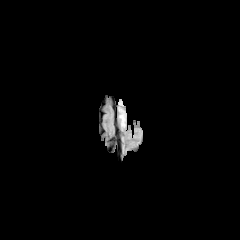
FLAIR MR.
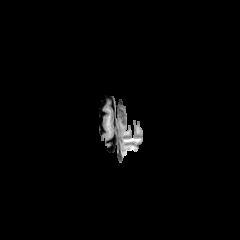
T1-weighted MRI.
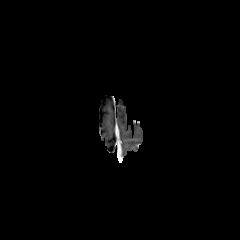
Post-contrast T1-weighted MR image.
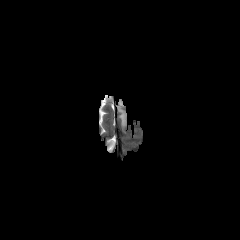
T2-weighted magnetic resonance of the same slice.
Head
peritumoral edema: bounding box <bbox>118, 106, 126, 131</bbox>